Slice index 77
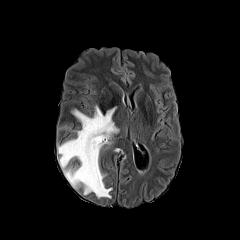
FLAIR MRI.
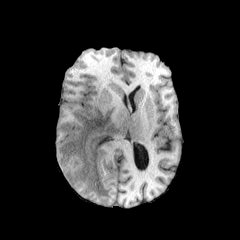
T1-weighted MRI of the same slice.
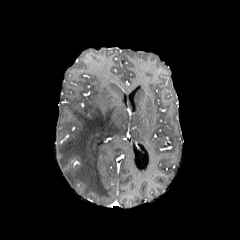
Post-contrast T1-weighted magnetic resonance of the same slice.
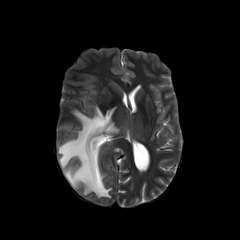
T2-weighted magnetic resonance.
peritumoral_edema:
  - x1=58, y1=105, x2=118, y2=198